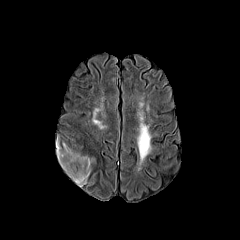
FLAIR MR image.
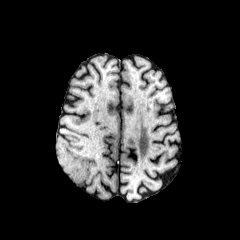
T1-weighted MRI.
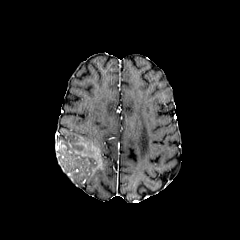
Post-contrast T1-weighted MR.
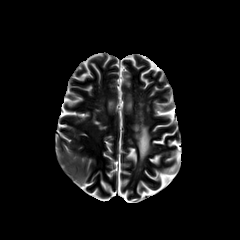
T2-weighted MR image.
240x240
- peritumoral edema: (x1=56, y1=141, x2=93, y2=186)